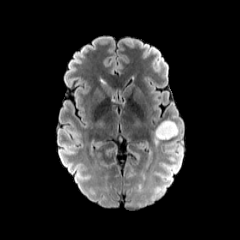
FLAIR magnetic resonance.
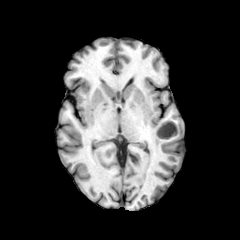
Same slice, T1-weighted magnetic resonance.
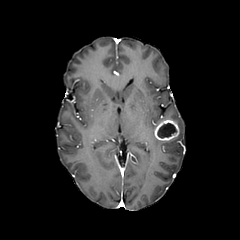
Same slice, post-contrast T1-weighted MRI.
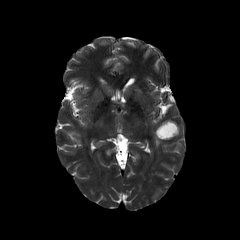
T2-weighted MR image.
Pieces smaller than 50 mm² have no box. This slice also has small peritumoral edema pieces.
The necrotic tumor core is located at 157,123,176,138. The enhancing tumor is located at 154,119,179,140.